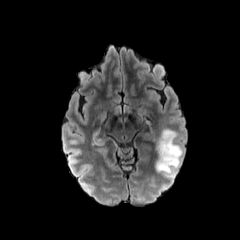
FLAIR MRI.
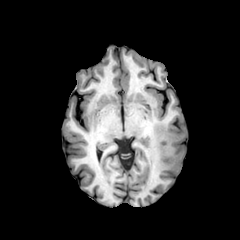
T1-weighted MR.
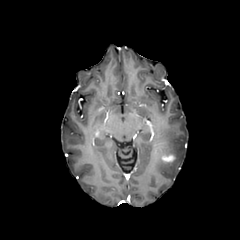
Post-contrast T1-weighted MRI.
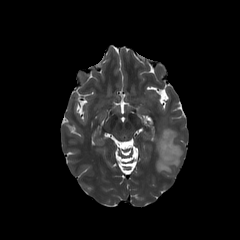
T2-weighted MRI.
The enhancing tumor lies within [x1=161, y1=155, x2=174, y2=162]. The peritumoral edema is bounded by [x1=156, y1=129, x2=182, y2=177].